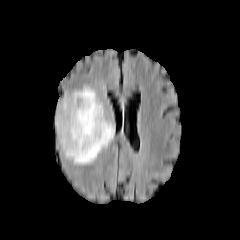
FLAIR MR.
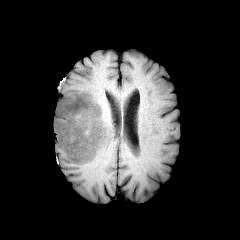
T1-weighted MR.
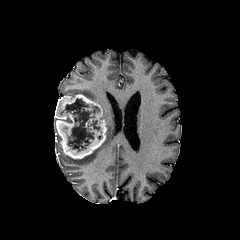
Post-contrast T1-weighted MR image of the same slice.
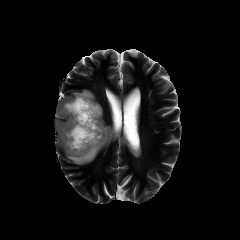
T2-weighted magnetic resonance.
Brain | Axial view | 240x240 px
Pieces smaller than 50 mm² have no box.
<segmentation>
  <necrotic_tumor_core>region(64, 98, 100, 151)</necrotic_tumor_core>
  <enhancing_tumor>region(55, 94, 106, 158)</enhancing_tumor>
  <peritumoral_edema>region(65, 87, 104, 119); region(65, 120, 114, 164)</peritumoral_edema>
</segmentation>